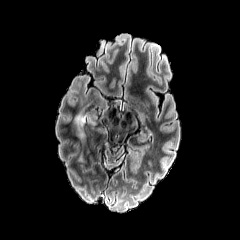
FLAIR MR image.
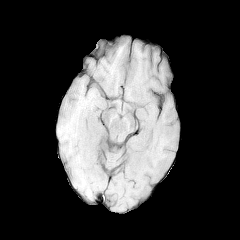
T1-weighted magnetic resonance.
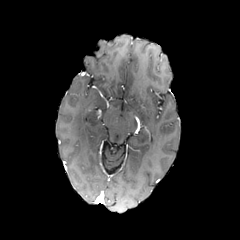
Same slice, post-contrast T1-weighted MR image.
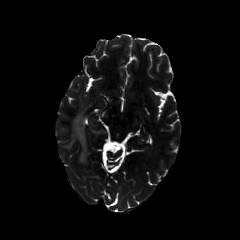
T2-weighted magnetic resonance of the same slice.
Axial plane.
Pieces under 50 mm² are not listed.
Annotated regions:
* peritumoral edema: bbox=[75, 112, 85, 142]